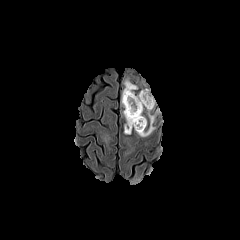
FLAIR magnetic resonance.
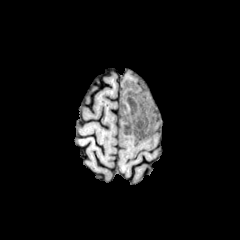
T1-weighted MRI.
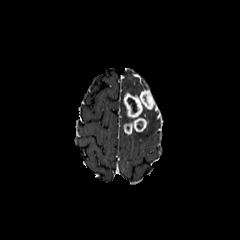
Post-contrast T1-weighted MR image.
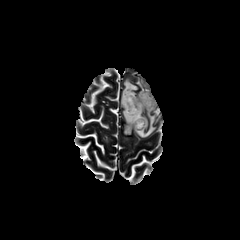
T2-weighted MR image of the same slice.
Brain; Image size 240x240
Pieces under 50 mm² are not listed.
peritumoral edema at bbox=[121, 79, 137, 122]; bbox=[136, 105, 156, 137]
enhancing tumor at bbox=[123, 90, 155, 134]
necrotic tumor core at bbox=[127, 98, 137, 112]